FLAIR MRI.
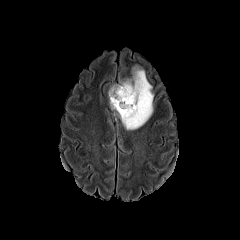
T1-weighted MR.
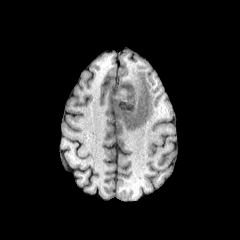
Post-contrast T1-weighted MR.
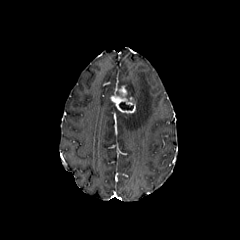
T2-weighted MRI.
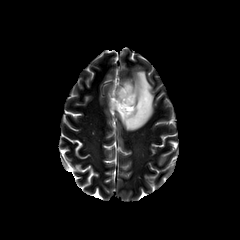
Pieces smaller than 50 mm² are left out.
necrotic tumor core: bbox=[119, 102, 133, 110]
peritumoral edema: bbox=[108, 84, 115, 97]; bbox=[118, 66, 153, 130]
enhancing tumor: bbox=[110, 85, 135, 113]